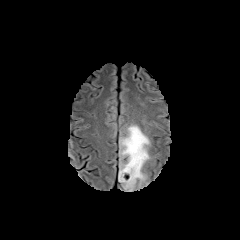
FLAIR MR.
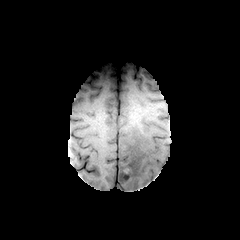
T1-weighted MR image.
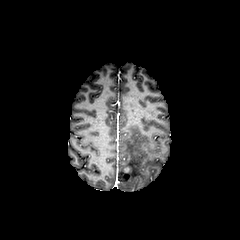
Post-contrast T1-weighted magnetic resonance.
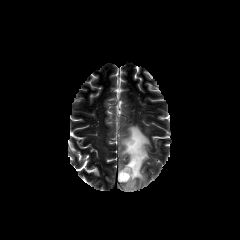
T2-weighted MRI of the same slice.
Axial slice
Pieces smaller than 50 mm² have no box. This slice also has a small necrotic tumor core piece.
peritumoral edema: <bbox>118, 125, 149, 191</bbox>